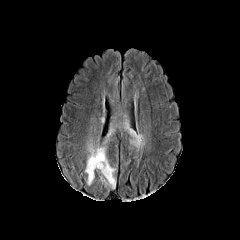
FLAIR MRI.
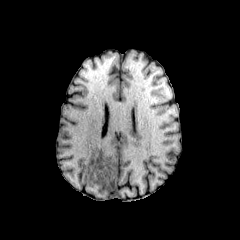
Same slice, T1-weighted MRI.
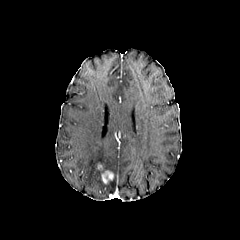
Post-contrast T1-weighted MR of the same slice.
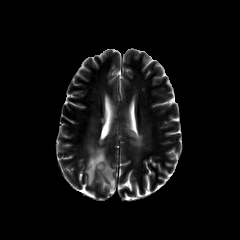
T2-weighted magnetic resonance.
Brain | Image size 240x240 | Axial slice
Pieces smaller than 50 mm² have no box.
Findings:
• peritumoral edema: [85, 127, 115, 185], [106, 177, 115, 189], [125, 123, 141, 146]
• enhancing tumor: [97, 163, 113, 183]